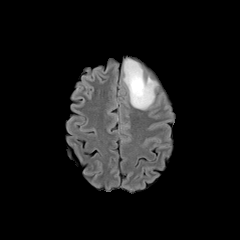
FLAIR MRI.
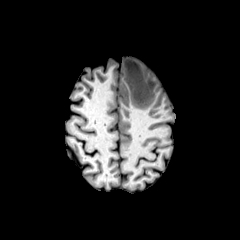
T1-weighted MR of the same slice.
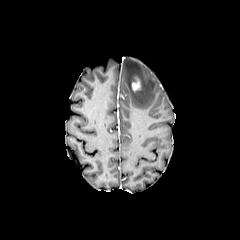
Post-contrast T1-weighted MR of the same slice.
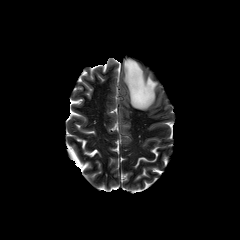
T2-weighted MRI.
Axial plane
The peritumoral edema lies within 124:59:156:109. The enhancing tumor lies within 132:78:140:91.